Axial slice.
FLAIR MR image.
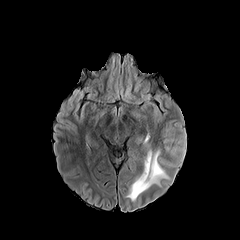
T1-weighted MR.
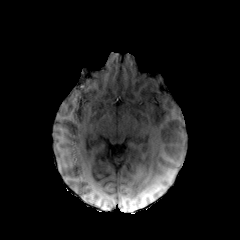
Post-contrast T1-weighted MRI.
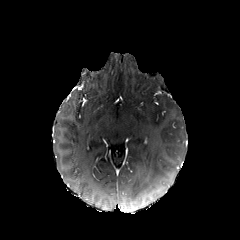
T2-weighted MR.
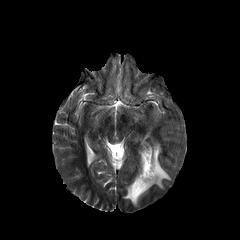
{
  "peritumoral_edema": [
    "box(124, 146, 171, 202)"
  ]
}